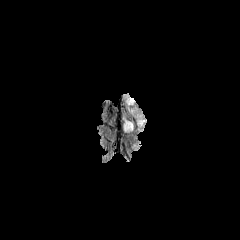
FLAIR MR.
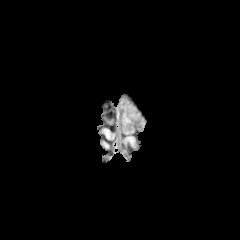
T1-weighted MR.
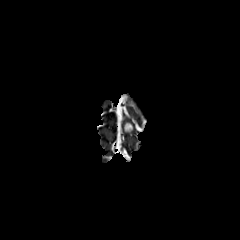
Post-contrast T1-weighted MR.
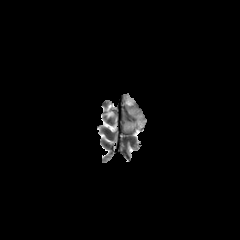
T2-weighted magnetic resonance.
Image size 240x240. Brain.
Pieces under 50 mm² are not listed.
The largest peritumoral edema region is bounded by x1=136, y1=115, x2=142, y2=127. The largest enhancing tumor region is bounded by x1=124, y1=122, x2=133, y2=132.